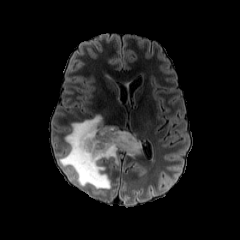
FLAIR MRI.
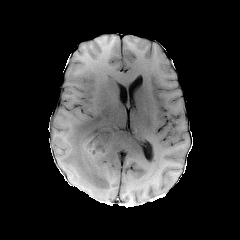
Same slice, T1-weighted MR image.
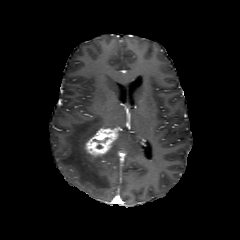
Post-contrast T1-weighted MR of the same slice.
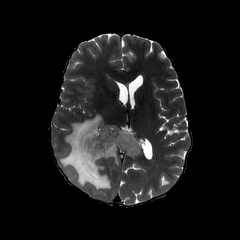
T2-weighted MR image.
Brain, Axial view
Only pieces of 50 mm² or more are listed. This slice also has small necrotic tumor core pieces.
peritumoral_edema:
  - region(59, 114, 141, 189)
enhancing_tumor:
  - region(84, 127, 119, 157)